FLAIR MR.
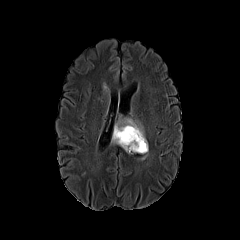
T1-weighted MRI.
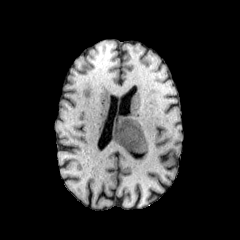
Post-contrast T1-weighted MRI.
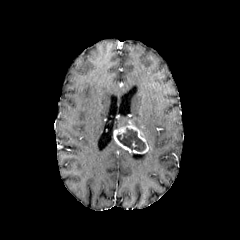
T2-weighted MR image.
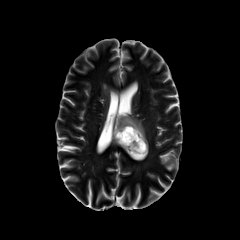
240x240 | Axial slice
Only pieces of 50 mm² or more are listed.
The largest enhancing tumor region lies within 113, 120, 148, 153. The necrotic tumor core appears at 117, 128, 145, 151. The largest peritumoral edema region is located at 114, 118, 144, 135.